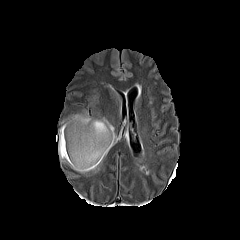
FLAIR MR.
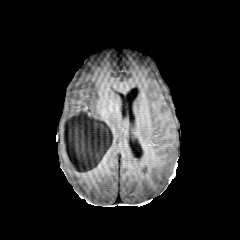
T1-weighted MR.
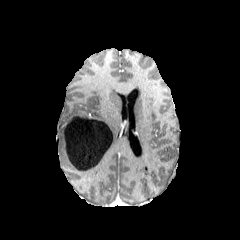
Post-contrast T1-weighted magnetic resonance.
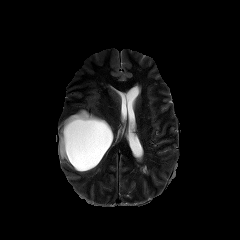
Same slice, T2-weighted MR image.
Image size 240x240 | Brain
Annotated regions:
* necrotic tumor core: <box>62,115,112,170</box>
* peritumoral edema: <box>58,110,116,173</box>